FLAIR MR.
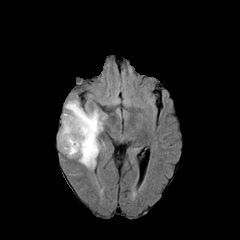
T1-weighted MRI.
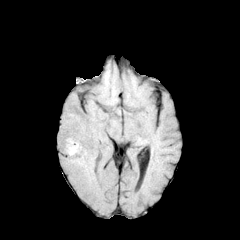
Post-contrast T1-weighted MRI.
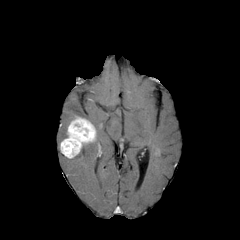
T2-weighted MRI.
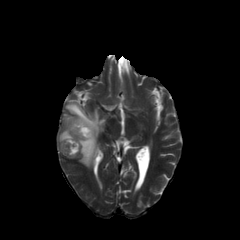
Head; Axial view; Image size 240x240
peritumoral edema: bbox(58, 99, 105, 168) | enhancing tumor: bbox(60, 116, 96, 158)